240x240 px | Brain | Slice 102 of 155
FLAIR MR image.
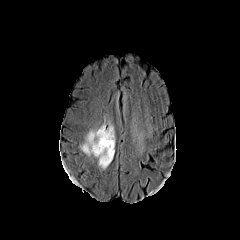
T1-weighted MR.
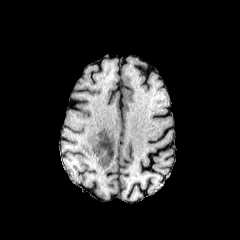
Post-contrast T1-weighted magnetic resonance.
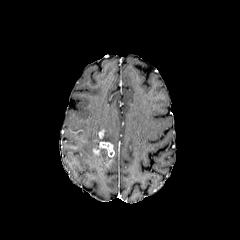
T2-weighted MRI.
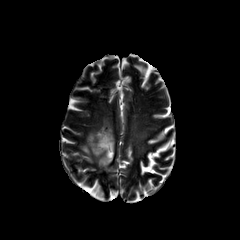
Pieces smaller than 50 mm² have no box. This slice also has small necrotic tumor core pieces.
The 2 largest enhancing tumor regions are located at l=98, t=129, r=104, b=139; l=93, t=141, r=114, b=157. The peritumoral edema is at l=81, t=122, r=115, b=168.